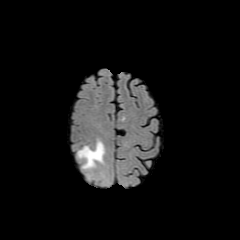
FLAIR magnetic resonance.
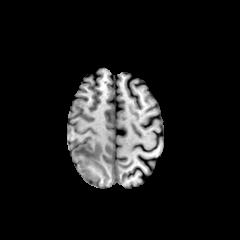
T1-weighted magnetic resonance.
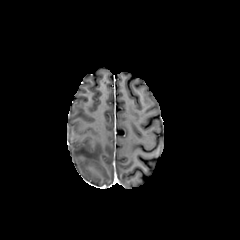
Post-contrast T1-weighted MRI.
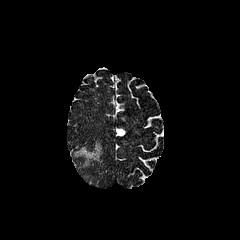
T2-weighted MRI.
Brain; Axial view
peritumoral edema: x1=77 y1=141 x2=104 y2=168